Image width 240 mm, 1.00 mm slice spacing
FLAIR MR image.
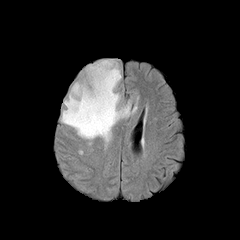
T1-weighted MRI.
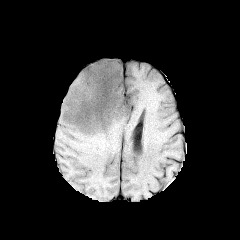
Post-contrast T1-weighted MR.
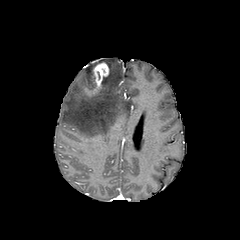
T2-weighted MR.
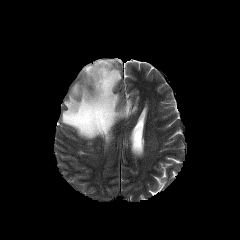
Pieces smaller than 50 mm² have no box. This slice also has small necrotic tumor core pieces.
peritumoral edema — region(61, 59, 131, 149)
enhancing tumor — region(84, 62, 109, 96)